Image width 240 mm, 1.00 mm slice spacing
FLAIR MR image.
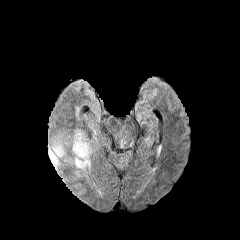
T1-weighted MR.
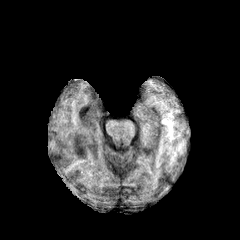
Post-contrast T1-weighted MRI.
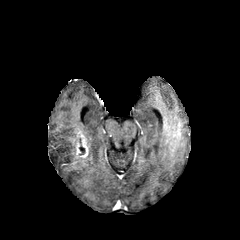
T2-weighted magnetic resonance.
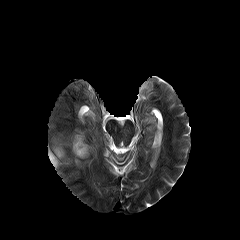
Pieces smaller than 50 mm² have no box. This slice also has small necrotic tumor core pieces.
{"peritumoral_edema": ["75,157,90,168", "49,145,64,168"], "enhancing_tumor": ["72,131,89,158"]}